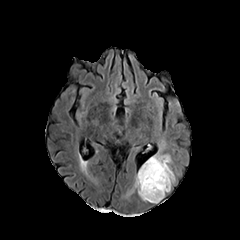
FLAIR MR image.
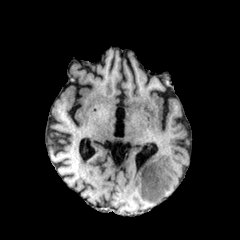
T1-weighted MRI of the same slice.
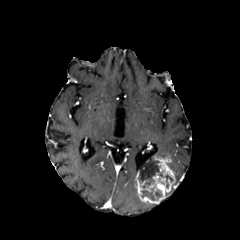
Same slice, post-contrast T1-weighted MR image.
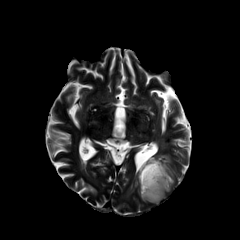
Same slice, T2-weighted magnetic resonance.
Axial slice.
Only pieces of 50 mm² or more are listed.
The 3 largest necrotic tumor core regions appear at x1=141, y1=190, x2=155, y2=200; x1=138, y1=161, x2=159, y2=188; x1=159, y1=173, x2=172, y2=187. The largest enhancing tumor region is at x1=135, y1=156, x2=175, y2=203. The 2 largest peritumoral edema regions are located at x1=154, y1=139, x2=170, y2=157; x1=125, y1=181, x2=136, y2=197.